Brain | Slice 89/155
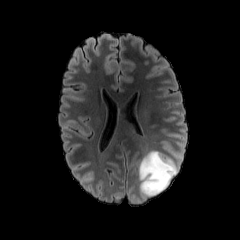
FLAIR MR image.
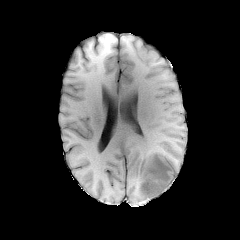
T1-weighted MR of the same slice.
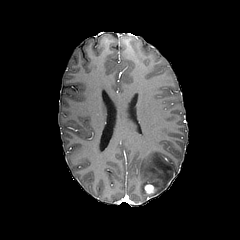
Same slice, post-contrast T1-weighted magnetic resonance.
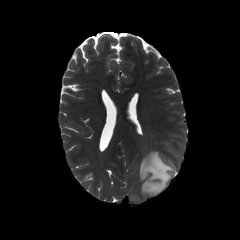
Same slice, T2-weighted magnetic resonance.
Findings:
• enhancing tumor: (144, 183, 157, 195)
• peritumoral edema: (138, 150, 178, 198)